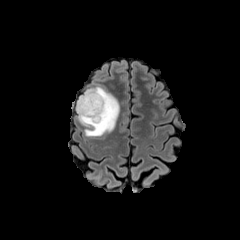
FLAIR MRI.
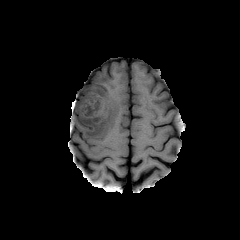
Same slice, T1-weighted MR.
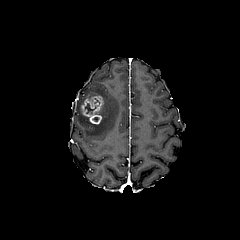
Post-contrast T1-weighted magnetic resonance.
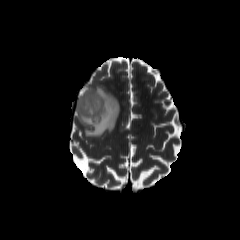
T2-weighted MR image of the same slice.
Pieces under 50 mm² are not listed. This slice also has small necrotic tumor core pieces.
enhancing tumor = <bbox>80, 95, 103, 124</bbox>
peritumoral edema = <bbox>76, 86, 119, 136</bbox>